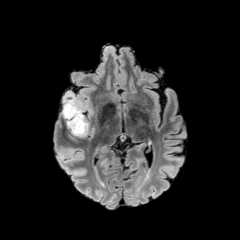
FLAIR magnetic resonance.
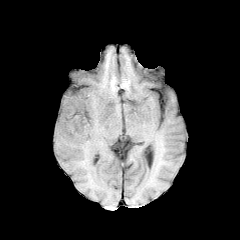
T1-weighted MRI of the same slice.
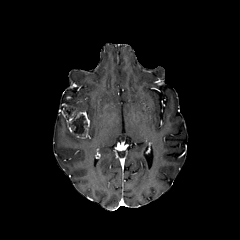
Post-contrast T1-weighted MR image of the same slice.
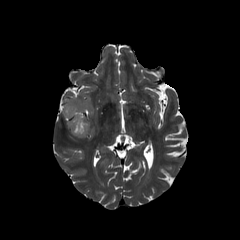
Same slice, T2-weighted MR.
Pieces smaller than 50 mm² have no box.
peritumoral edema at 63 98 77 103
enhancing tumor at 62 100 89 138
necrotic tumor core at 69 115 87 135, 65 107 74 119